Image covers 240 mm x 240 mm. Axial view. Image size 240x240.
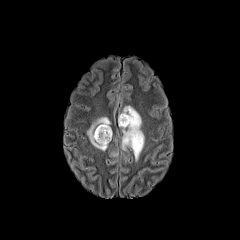
FLAIR MR.
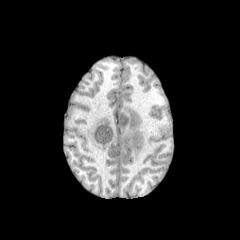
T1-weighted MR image.
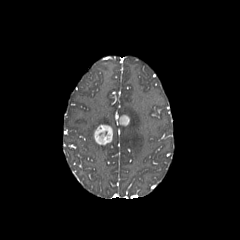
Post-contrast T1-weighted MR.
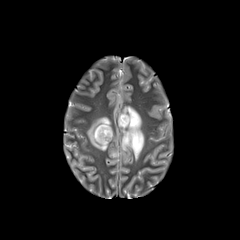
T2-weighted magnetic resonance of the same slice.
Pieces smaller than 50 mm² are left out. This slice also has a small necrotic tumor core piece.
2 peritumoral edema regions are bounded by (x1=87, y1=117, x2=110, y2=150), (x1=119, y1=106, x2=144, y2=160). 2 enhancing tumor regions are bounded by (x1=94, y1=124, x2=112, y2=145), (x1=118, y1=115, x2=129, y2=125).